FLAIR magnetic resonance.
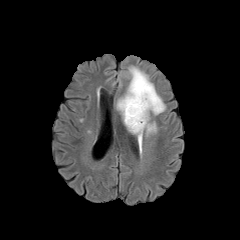
T1-weighted magnetic resonance.
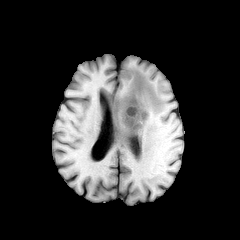
Post-contrast T1-weighted MR image.
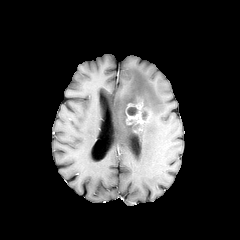
T2-weighted MR.
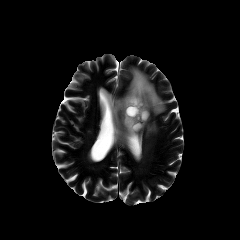
Brain, 240x240, Axial view
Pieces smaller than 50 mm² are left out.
enhancing tumor = 125,100,149,132
necrotic tumor core = 127,107,137,115
peritumoral edema = 116,66,165,153